Slice index 81.
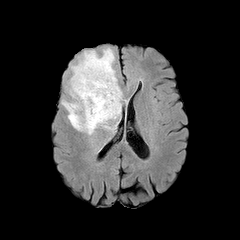
FLAIR magnetic resonance.
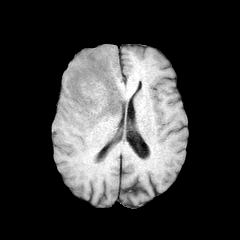
T1-weighted MRI.
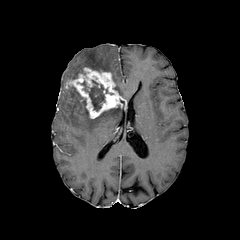
Post-contrast T1-weighted MR image.
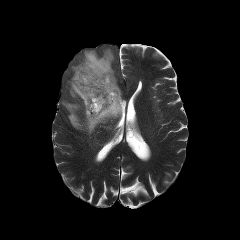
T2-weighted magnetic resonance.
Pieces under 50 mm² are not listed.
necrotic_tumor_core:
  - 81, 80, 104, 110
enhancing_tumor:
  - 66, 67, 126, 118
peritumoral_edema:
  - 70, 48, 121, 95
  - 62, 87, 121, 134